Slice index 54. Axial plane. Brain.
FLAIR MRI.
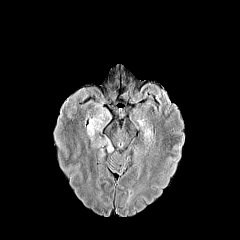
T1-weighted MR.
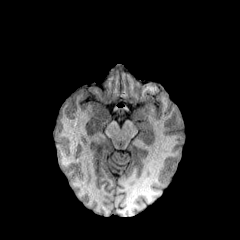
Post-contrast T1-weighted MRI.
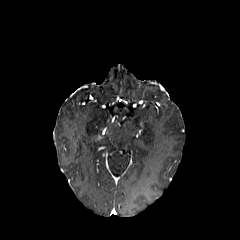
T2-weighted MR.
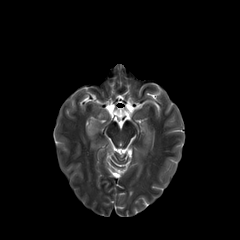
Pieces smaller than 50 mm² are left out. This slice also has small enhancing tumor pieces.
peritumoral edema — [x1=87, y1=113, x2=112, y2=152], [x1=99, y1=147, x2=105, y2=163]